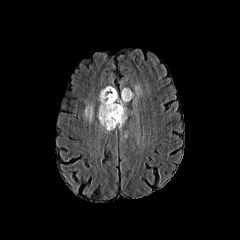
FLAIR MR.
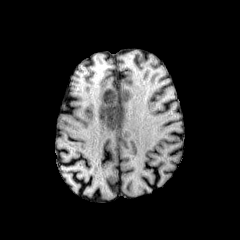
T1-weighted magnetic resonance of the same slice.
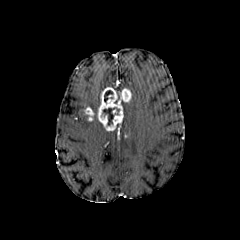
Post-contrast T1-weighted magnetic resonance.
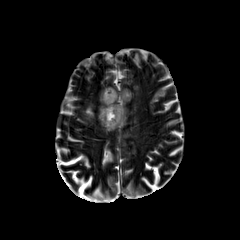
Same slice, T2-weighted magnetic resonance.
240x240 px.
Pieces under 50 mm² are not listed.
{
  "necrotic_tumor_core": [
    "x1=104 y1=90 x2=113 y2=101",
    "x1=103 y1=107 x2=119 y2=125"
  ],
  "peritumoral_edema": [
    "x1=133 y1=85 x2=141 y2=104",
    "x1=120 y1=102 x2=126 y2=134"
  ],
  "enhancing_tumor": [
    "x1=82 y1=106 x2=94 y2=121",
    "x1=97 y1=87 x2=131 y2=131"
  ]
}